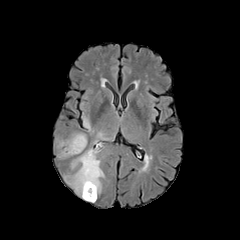
FLAIR MR image.
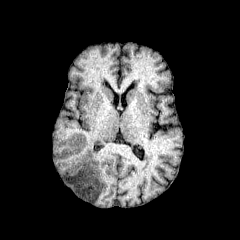
T1-weighted MR image.
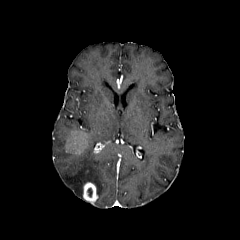
Post-contrast T1-weighted MR.
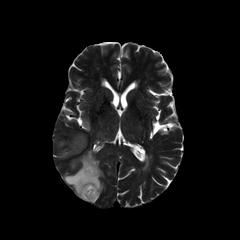
Same slice, T2-weighted MR.
Head. Axial slice.
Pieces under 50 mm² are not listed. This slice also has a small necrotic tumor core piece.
{
  "peritumoral_edema": [
    "box(64, 148, 104, 197)",
    "box(83, 116, 90, 130)",
    "box(60, 148, 73, 157)"
  ],
  "enhancing_tumor": [
    "box(65, 132, 87, 154)",
    "box(83, 182, 97, 202)"
  ]
}